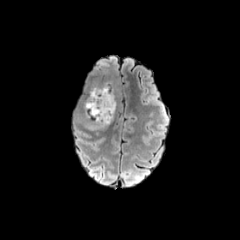
FLAIR MRI.
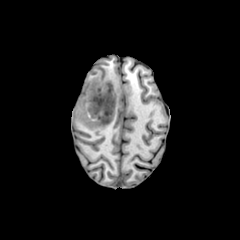
T1-weighted magnetic resonance of the same slice.
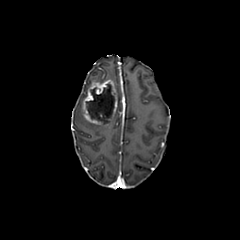
Post-contrast T1-weighted MR image of the same slice.
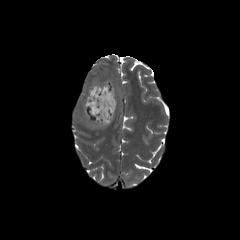
T2-weighted MRI.
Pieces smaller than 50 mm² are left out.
enhancing_tumor:
  - box=[82, 79, 117, 125]
peritumoral_edema:
  - box=[88, 124, 106, 129]
necrotic_tumor_core:
  - box=[86, 84, 114, 122]